Head
FLAIR MR image.
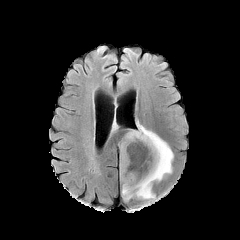
T1-weighted magnetic resonance.
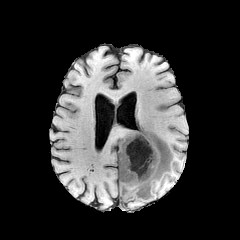
Post-contrast T1-weighted MRI.
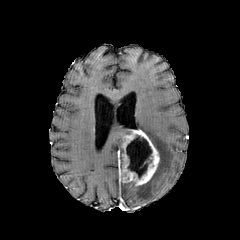
T2-weighted MRI.
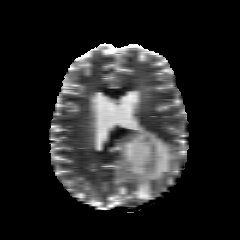
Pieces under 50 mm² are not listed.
peritumoral edema: x1=121 y1=121 x2=173 y2=200
necrotic tumor core: x1=126 y1=135 x2=151 y2=178
enhancing tumor: x1=119 y1=129 x2=159 y2=185